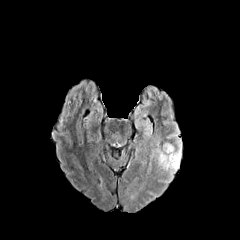
FLAIR MR.
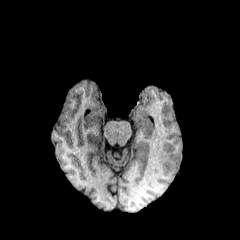
T1-weighted MR.
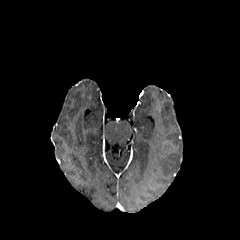
Post-contrast T1-weighted MR image.
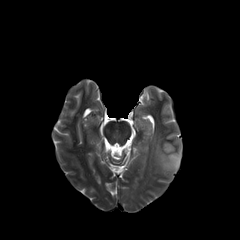
T2-weighted MRI of the same slice.
peritumoral edema: l=152, t=139, r=181, b=173